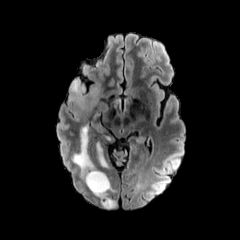
FLAIR MR.
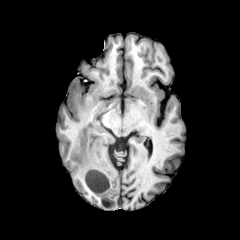
Same slice, T1-weighted MR image.
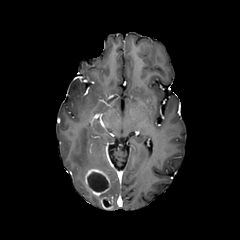
Same slice, post-contrast T1-weighted MR.
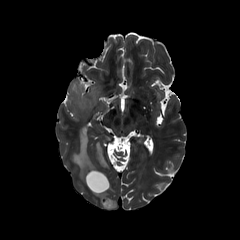
Same slice, T2-weighted MR.
Image size 240x240
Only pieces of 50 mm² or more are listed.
Annotated regions:
• enhancing tumor: rect(84, 168, 110, 196); rect(100, 197, 113, 209)
• peritumoral edema: rect(68, 78, 101, 120); rect(72, 126, 95, 178); rect(96, 142, 108, 167)
• necrotic tumor core: rect(87, 172, 108, 191)